FLAIR MRI.
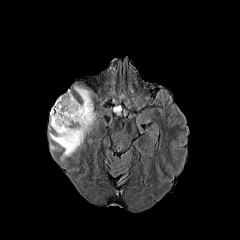
T1-weighted MR.
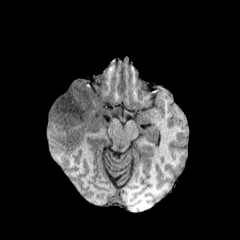
Post-contrast T1-weighted MR image.
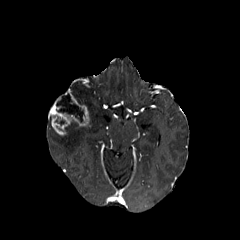
T2-weighted MRI.
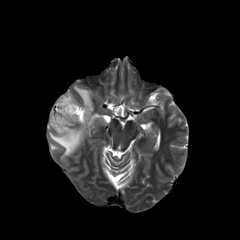
Axial plane | Brain
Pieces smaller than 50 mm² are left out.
{
  "peritumoral_edema": [
    "49 85 95 160"
  ],
  "necrotic_tumor_core": [
    "56 94 83 122"
  ],
  "enhancing_tumor": [
    "49 89 89 135"
  ]
}